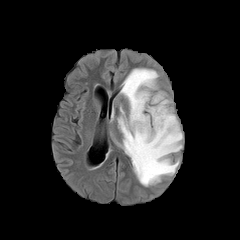
FLAIR MR.
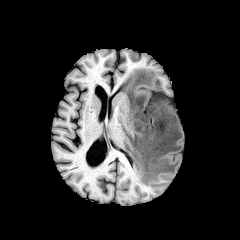
T1-weighted MRI of the same slice.
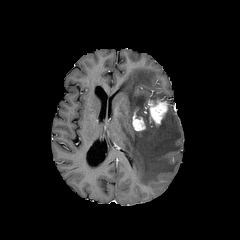
Post-contrast T1-weighted MR of the same slice.
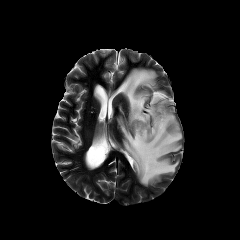
T2-weighted magnetic resonance.
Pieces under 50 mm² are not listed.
Annotated regions:
- peritumoral edema: (left=109, top=68, right=182, bottom=186)
- enhancing tumor: (left=145, top=98, right=168, bottom=126), (left=132, top=112, right=144, bottom=130)